Axial slice; Slice 94/155
FLAIR magnetic resonance.
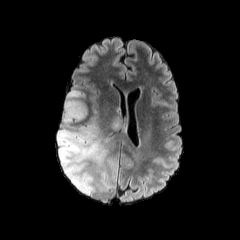
T1-weighted magnetic resonance.
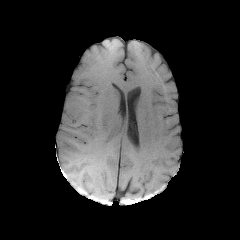
Post-contrast T1-weighted MR image.
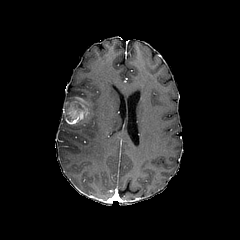
T2-weighted MR.
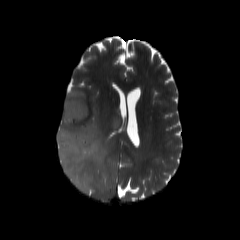
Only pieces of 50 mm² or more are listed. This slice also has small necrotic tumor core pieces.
peritumoral edema: bounding box x1=112 y1=117 x2=121 y2=131, x1=57 y1=90 x2=116 y2=194
enhancing tumor: bounding box x1=65 y1=98 x2=87 y2=124